Axial view, Brain, Slice index 77, Image size 240x240
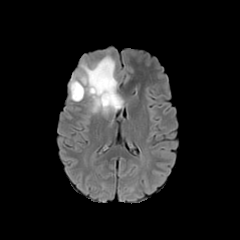
FLAIR MRI.
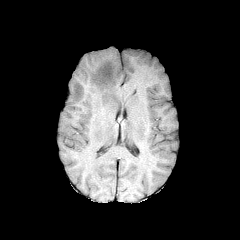
Same slice, T1-weighted MR.
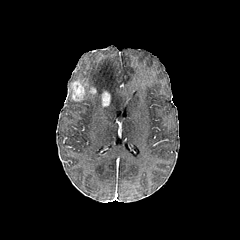
Same slice, post-contrast T1-weighted MRI.
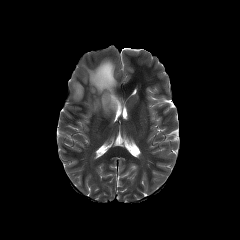
T2-weighted MR.
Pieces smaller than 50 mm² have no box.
peritumoral edema — {"x1": 81, "y1": 57, "x2": 118, "y2": 112}
enhancing tumor — {"x1": 71, "y1": 81, "x2": 84, "y2": 100}, {"x1": 102, "y1": 91, "x2": 110, "y2": 106}